Head.
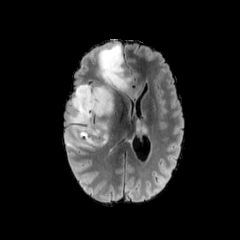
FLAIR MR.
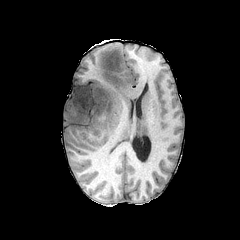
T1-weighted MR.
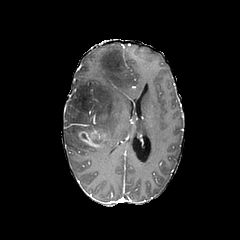
Post-contrast T1-weighted MR.
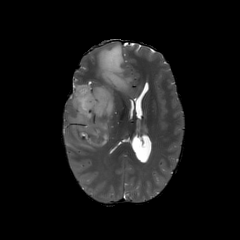
T2-weighted magnetic resonance of the same slice.
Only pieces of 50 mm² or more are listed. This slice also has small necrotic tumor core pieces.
enhancing tumor: 78,131,107,148
peritumoral edema: 134,118,148,136; 64,43,145,151